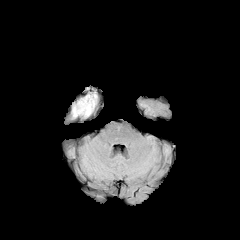
FLAIR MR.
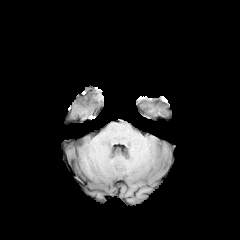
T1-weighted MR of the same slice.
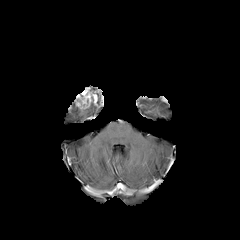
Post-contrast T1-weighted MRI of the same slice.
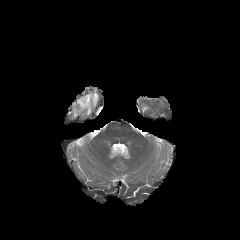
T2-weighted MRI of the same slice.
Head. 240x240 px.
enhancing tumor: l=75, t=87, r=97, b=110 | peritumoral edema: l=72, t=104, r=94, b=117